Brain.
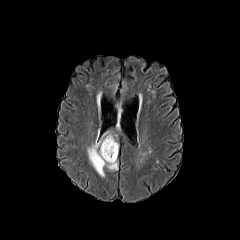
FLAIR MR.
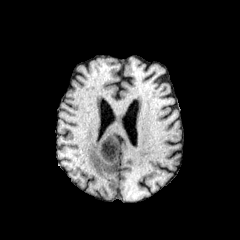
Same slice, T1-weighted MRI.
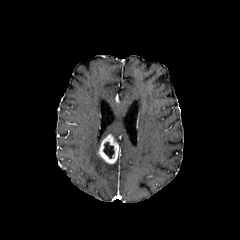
Post-contrast T1-weighted MRI.
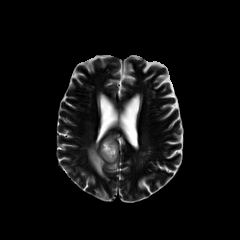
Same slice, T2-weighted MR.
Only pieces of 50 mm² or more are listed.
enhancing tumor — (x1=97, y1=134, x2=118, y2=163)
necrotic tumor core — (x1=103, y1=142, x2=114, y2=158)
peritumoral edema — (x1=87, y1=131, x2=118, y2=177)